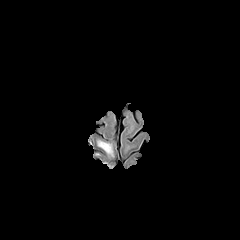
FLAIR magnetic resonance.
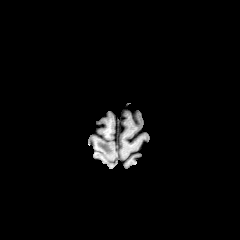
Same slice, T1-weighted magnetic resonance.
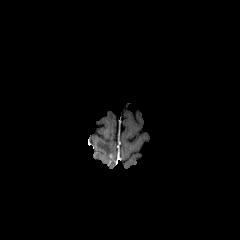
Same slice, post-contrast T1-weighted MR image.
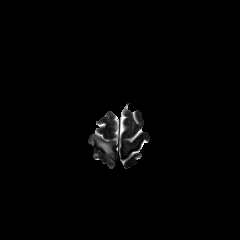
T2-weighted MRI of the same slice.
Head | Axial slice
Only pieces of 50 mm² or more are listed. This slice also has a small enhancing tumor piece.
peritumoral edema: bounding box 97, 139, 113, 157